FLAIR magnetic resonance.
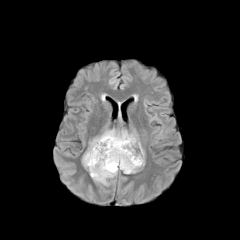
T1-weighted magnetic resonance.
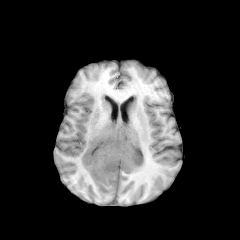
Post-contrast T1-weighted magnetic resonance.
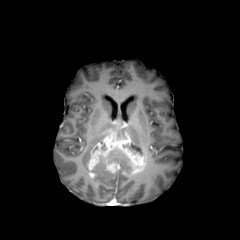
T2-weighted MR.
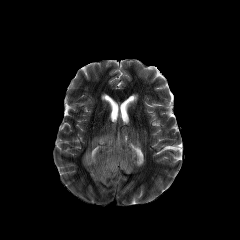
Axial view
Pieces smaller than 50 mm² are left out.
The 2 largest necrotic tumor core regions appear at [x1=123, y1=143, x2=143, y2=156], [x1=109, y1=150, x2=132, y2=173]. The largest enhancing tumor region is at [x1=88, y1=132, x2=146, y2=176]. 4 peritumoral edema regions are located at [x1=82, y1=129, x2=115, y2=167], [x1=116, y1=130, x2=127, y2=137], [x1=129, y1=134, x2=140, y2=145], [x1=89, y1=157, x2=117, y2=185].